Slice 100/155
FLAIR MRI.
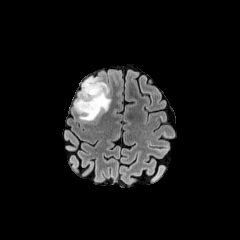
T1-weighted MR image.
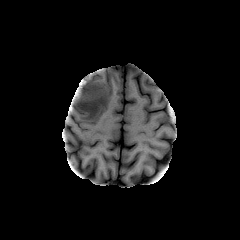
Post-contrast T1-weighted MR.
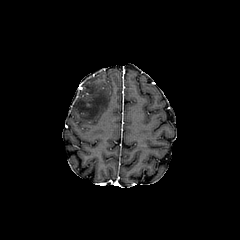
T2-weighted MR.
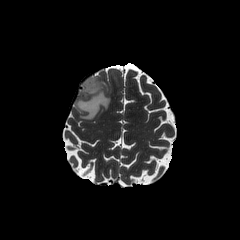
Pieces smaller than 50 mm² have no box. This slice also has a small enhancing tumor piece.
peritumoral edema: bounding box (left=73, top=77, right=110, bottom=121)